FLAIR MRI.
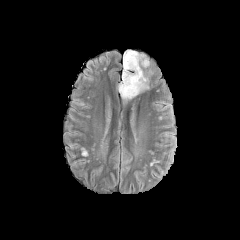
T1-weighted MR.
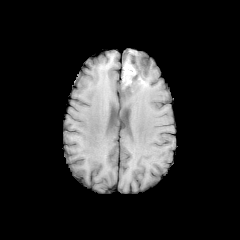
Post-contrast T1-weighted MRI.
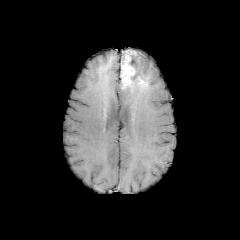
T2-weighted MR image.
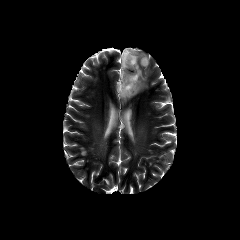
240x240 px | Axial plane
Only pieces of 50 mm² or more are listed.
• enhancing tumor: bbox=[121, 50, 146, 91]
• peritumoral edema: bbox=[117, 52, 149, 101]
• necrotic tumor core: bbox=[129, 53, 145, 81]